Slice 107/155, Brain, Image covers 240 mm x 240 mm, 240x240 px
FLAIR MR image.
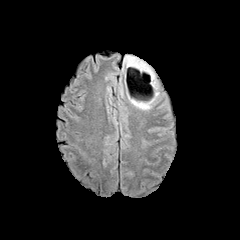
T1-weighted MR image.
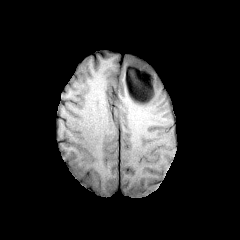
Post-contrast T1-weighted MR.
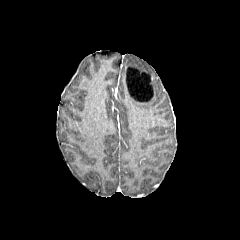
T2-weighted MR image.
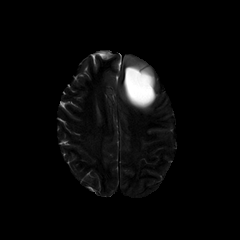
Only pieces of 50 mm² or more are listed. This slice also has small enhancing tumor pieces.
Findings:
• necrotic tumor core: bbox=[125, 66, 153, 102]
• peritumoral edema: bbox=[124, 55, 158, 109]